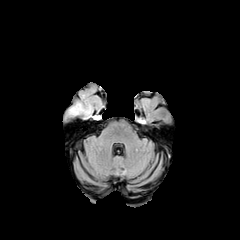
FLAIR MR image.
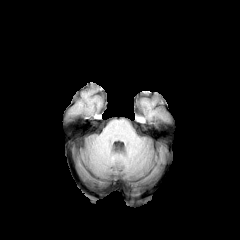
T1-weighted MR.
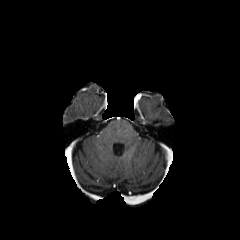
Post-contrast T1-weighted MR.
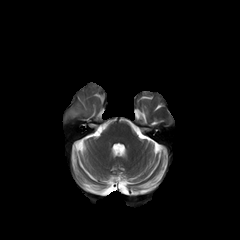
T2-weighted magnetic resonance.
Axial view, Brain
The peritumoral edema lies within (x1=63, y1=85, x2=101, y2=121).